240x240; Brain; Axial slice
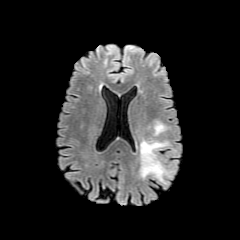
FLAIR MR.
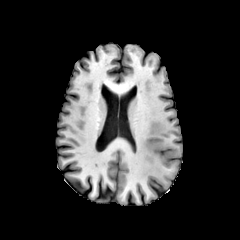
T1-weighted MR of the same slice.
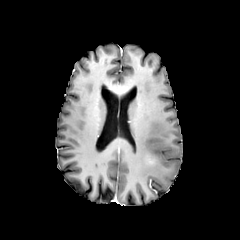
Post-contrast T1-weighted magnetic resonance of the same slice.
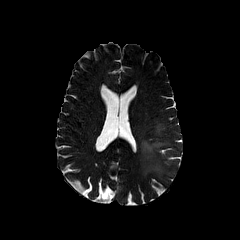
Same slice, T2-weighted MRI.
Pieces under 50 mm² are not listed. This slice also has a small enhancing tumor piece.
Annotated regions:
• peritumoral edema: 155 124 164 134, 140 140 167 181